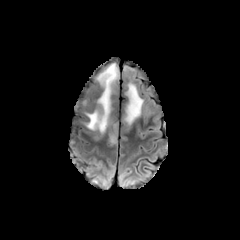
FLAIR MR.
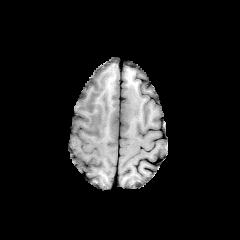
T1-weighted MRI.
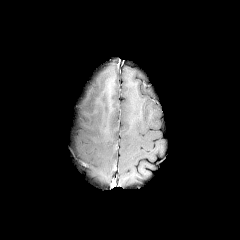
Post-contrast T1-weighted magnetic resonance.
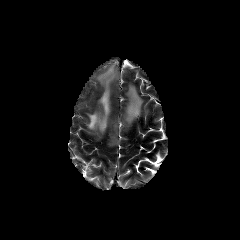
T2-weighted MR image of the same slice.
Axial slice.
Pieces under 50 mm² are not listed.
{"peritumoral_edema": ["[120,83,143,141]", "[80,63,118,145]"]}